FLAIR MRI.
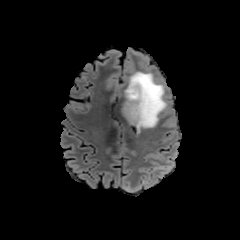
T1-weighted MR.
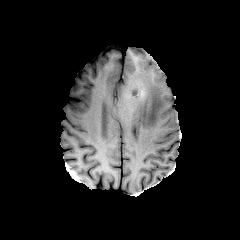
Post-contrast T1-weighted MRI.
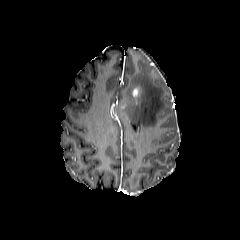
T2-weighted MR.
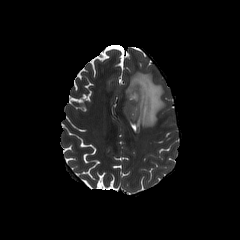
240x240; Head
Segmented structures:
• enhancing tumor: box=[132, 87, 139, 96]
• peritumoral edema: box=[121, 71, 166, 130]